Axial view
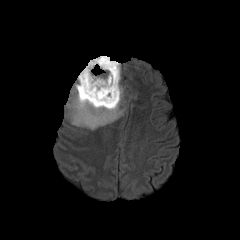
FLAIR magnetic resonance.
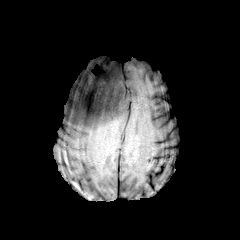
T1-weighted MR of the same slice.
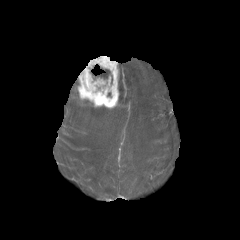
Post-contrast T1-weighted MR of the same slice.
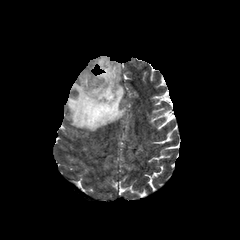
T2-weighted magnetic resonance of the same slice.
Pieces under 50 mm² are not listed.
enhancing_tumor:
  - box=[77, 56, 119, 108]
necrotic_tumor_core:
  - box=[91, 67, 110, 79]
peritumoral_edema:
  - box=[66, 63, 125, 130]